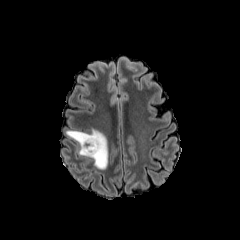
FLAIR MR image.
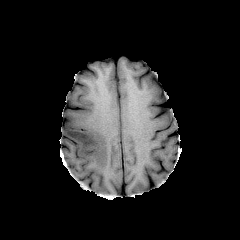
T1-weighted MRI.
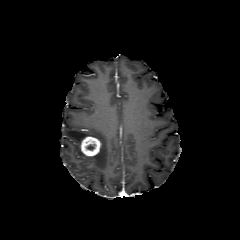
Post-contrast T1-weighted magnetic resonance.
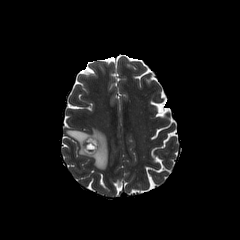
T2-weighted MRI of the same slice.
Axial plane, Head, Image size 240x240
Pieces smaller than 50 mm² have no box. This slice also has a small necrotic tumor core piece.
peritumoral edema: bounding box [66,128,108,169]
enhancing tumor: bounding box [81,136,101,156]